Slice 98/155, Axial plane, Brain
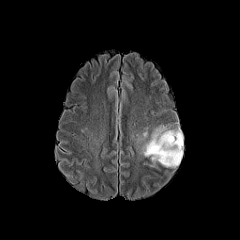
FLAIR MR image.
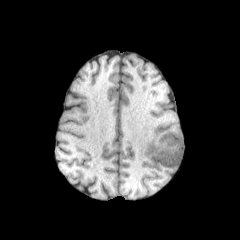
Same slice, T1-weighted MR.
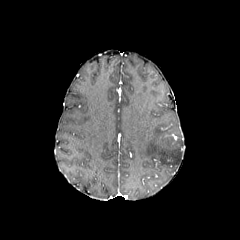
Post-contrast T1-weighted magnetic resonance.
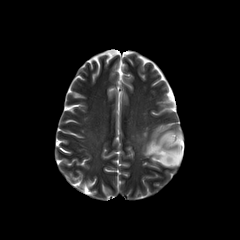
T2-weighted MR of the same slice.
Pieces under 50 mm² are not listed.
peritumoral edema — x1=143 y1=128 x2=183 y2=167